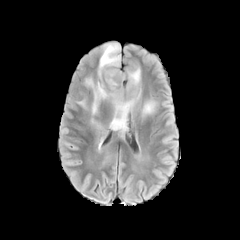
FLAIR MRI.
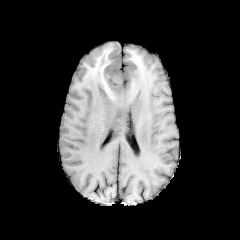
T1-weighted MRI of the same slice.
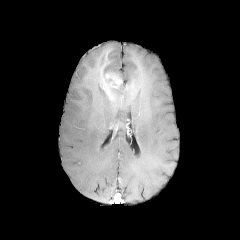
Post-contrast T1-weighted MRI of the same slice.
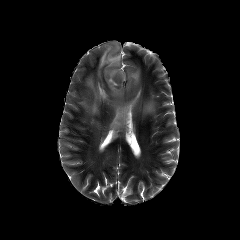
T2-weighted MRI of the same slice.
Brain
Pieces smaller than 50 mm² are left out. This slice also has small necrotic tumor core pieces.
Annotated regions:
• peritumoral edema: 73 43 142 132, 141 99 159 117
• enhancing tumor: 104 72 122 88